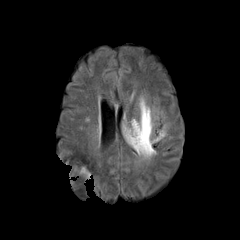
FLAIR MRI.
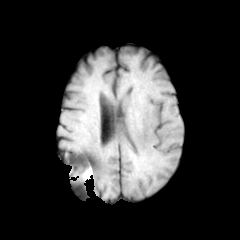
T1-weighted magnetic resonance.
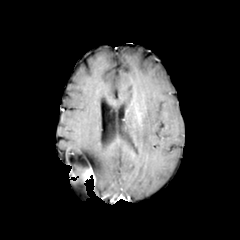
Same slice, post-contrast T1-weighted MRI.
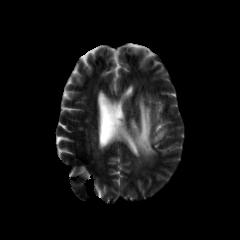
Same slice, T2-weighted MR image.
peritumoral_edema:
  - 122, 96, 165, 159